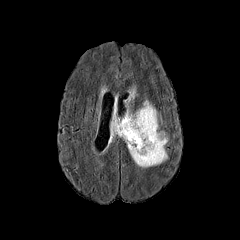
FLAIR MRI.
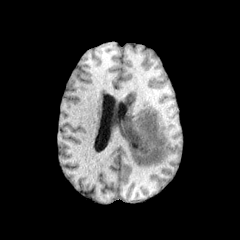
T1-weighted MRI.
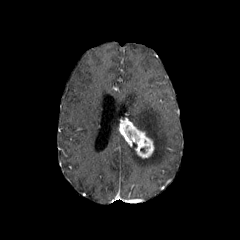
Post-contrast T1-weighted magnetic resonance of the same slice.
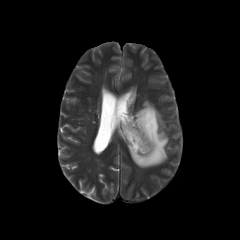
Same slice, T2-weighted MR.
Head.
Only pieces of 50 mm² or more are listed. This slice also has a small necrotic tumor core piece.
<segmentation>
  <peritumoral_edema>126 100 168 167, 109 116 122 143</peritumoral_edema>
  <enhancing_tumor>118 118 154 158</enhancing_tumor>
</segmentation>